FLAIR MRI.
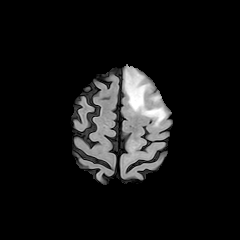
T1-weighted MR image.
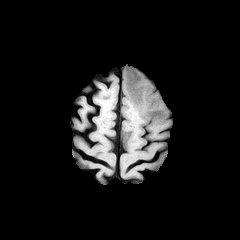
Post-contrast T1-weighted MR.
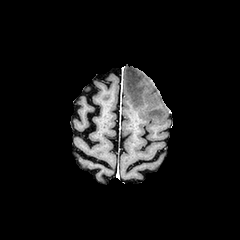
T2-weighted MR.
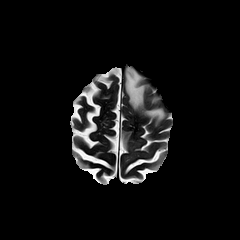
Brain | Image size 240x240 | Axial slice
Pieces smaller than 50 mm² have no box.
{
  "peritumoral_edema": [
    "x1=125, y1=67, x2=165, y2=125"
  ]
}